FLAIR magnetic resonance.
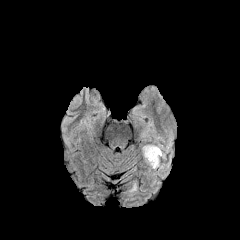
T1-weighted MR.
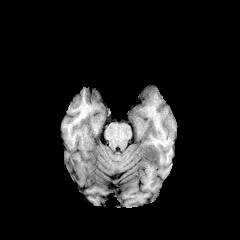
Post-contrast T1-weighted MR.
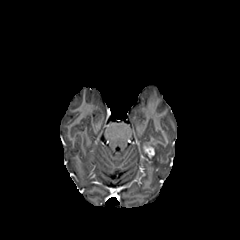
T2-weighted MR.
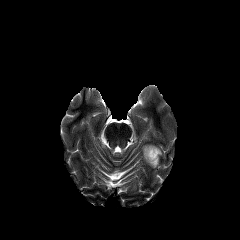
Axial plane; Image size 240x240
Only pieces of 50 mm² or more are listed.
<segmentation>
  <peritumoral_edema>142, 144, 164, 168</peritumoral_edema>
  <enhancing_tumor>143, 146, 154, 158</enhancing_tumor>
</segmentation>